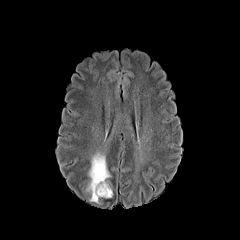
FLAIR MR image.
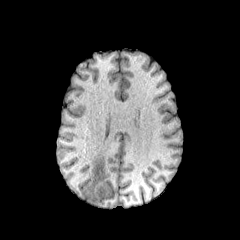
T1-weighted MR image.
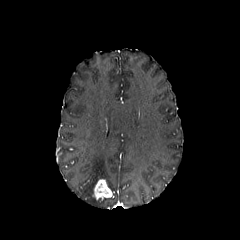
Post-contrast T1-weighted MRI.
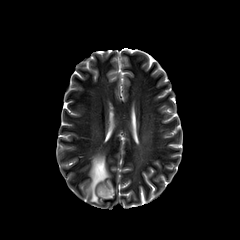
T2-weighted magnetic resonance of the same slice.
Axial slice, 240x240, Head
necrotic tumor core at x1=97 y1=183 x2=109 y2=194
peritumoral edema at x1=86 y1=152 x2=110 y2=203
enhancing tumor at x1=93 y1=179 x2=112 y2=199